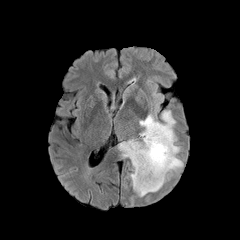
FLAIR MR.
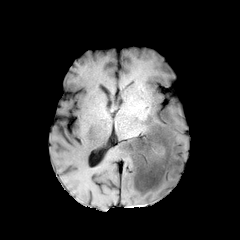
T1-weighted MR image of the same slice.
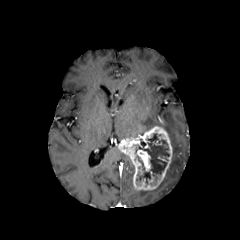
Post-contrast T1-weighted MR of the same slice.
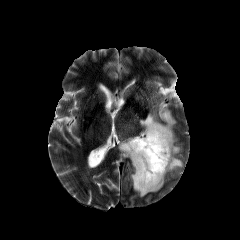
Same slice, T2-weighted MR.
Axial slice | Head
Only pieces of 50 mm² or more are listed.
peritumoral edema: 134,110,182,196 | necrotic tumor core: 139,172,150,183; 138,134,169,176 | enhancing tumor: 118,125,172,190